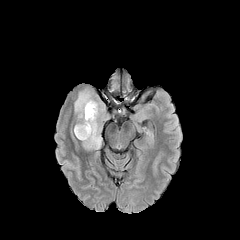
FLAIR magnetic resonance.
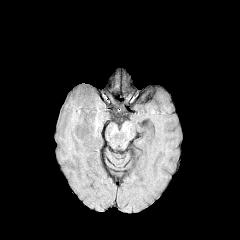
T1-weighted magnetic resonance of the same slice.
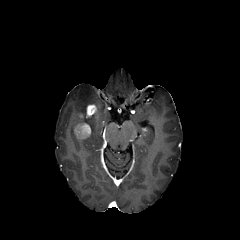
Post-contrast T1-weighted MR image.
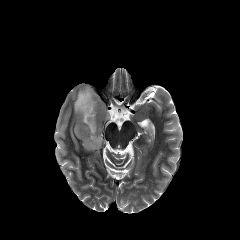
T2-weighted MR.
240x240 | Axial slice
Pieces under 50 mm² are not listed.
- enhancing tumor: [x1=86, y1=104, x2=97, y2=117], [x1=74, y1=123, x2=90, y2=139]
- peritumoral edema: [x1=74, y1=87, x2=108, y2=150]